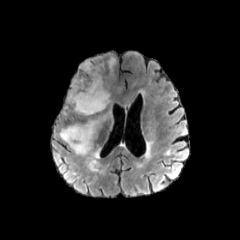
FLAIR MR image.
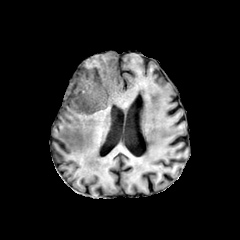
T1-weighted magnetic resonance of the same slice.
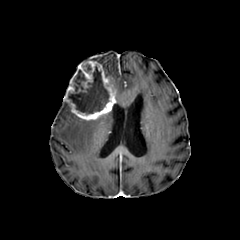
Post-contrast T1-weighted MR of the same slice.
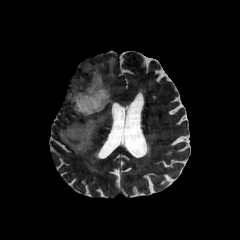
T2-weighted MR image of the same slice.
Axial view
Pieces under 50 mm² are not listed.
The largest necrotic tumor core region is at l=68, t=66, r=109, b=114. The largest enhancing tumor region is located at l=64, t=60, r=116, b=120. The 2 largest peritumoral edema regions are bounded by l=108, t=57, r=115, b=76; l=59, t=114, r=107, b=155.